FLAIR MR image.
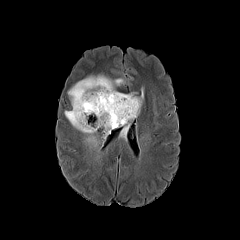
T1-weighted MR image.
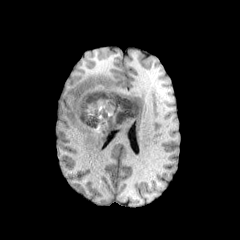
Post-contrast T1-weighted MR image.
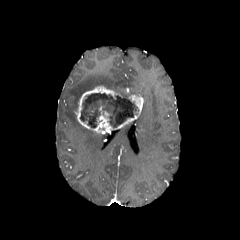
T2-weighted magnetic resonance.
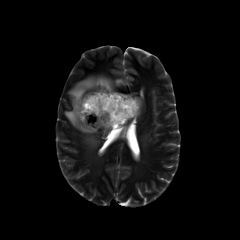
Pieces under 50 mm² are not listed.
The enhancing tumor is bounded by x1=75 y1=86 x2=143 y2=132. The necrotic tumor core appears at x1=80 y1=93 x2=137 y2=127. The 2 largest peritumoral edema regions are bounded by x1=64 y1=75 x2=124 y2=146, x1=121 y1=123 x2=129 y2=137.